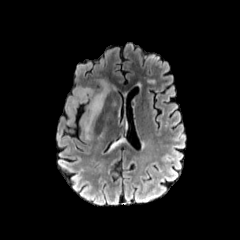
FLAIR MRI.
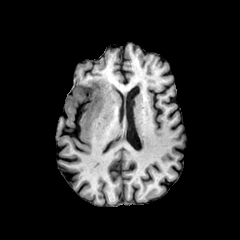
T1-weighted magnetic resonance of the same slice.
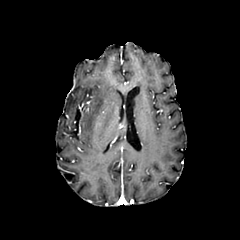
Post-contrast T1-weighted MR image.
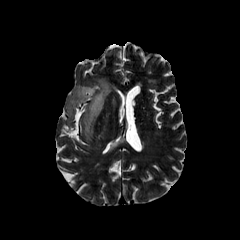
T2-weighted magnetic resonance.
Axial slice. 240x240. Head.
peritumoral edema = box=[66, 79, 113, 138]